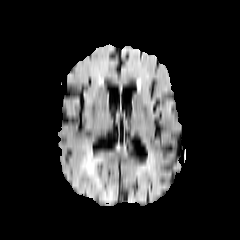
FLAIR MRI.
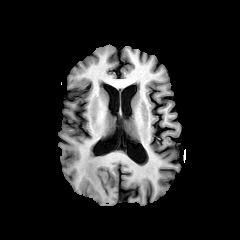
T1-weighted MRI.
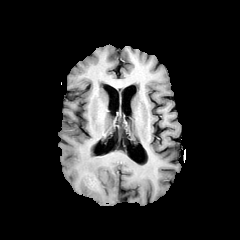
Post-contrast T1-weighted magnetic resonance.
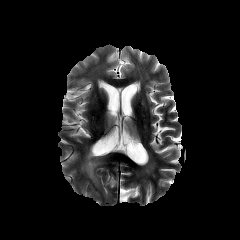
T2-weighted MR image.
Brain. Axial slice.
2 peritumoral edema regions are located at 103 193 113 201, 81 151 100 188.